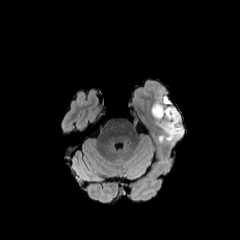
FLAIR magnetic resonance.
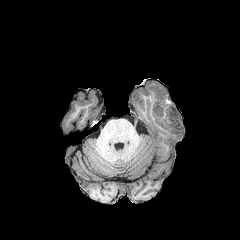
T1-weighted MR.
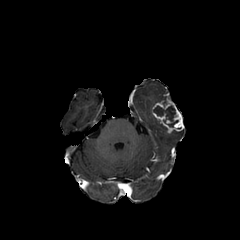
Post-contrast T1-weighted MR image.
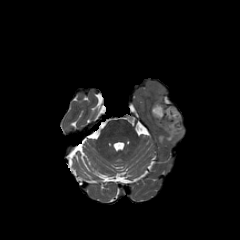
T2-weighted MR image.
Brain
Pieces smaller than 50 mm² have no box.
necrotic tumor core: [153,105,178,127] | peritumoral edema: [157,120,184,143] | enhancing tumor: [151,95,183,133]